FLAIR MRI.
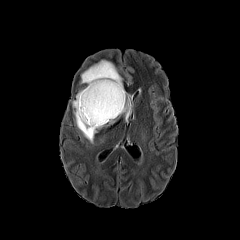
T1-weighted MR.
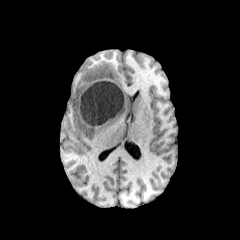
Post-contrast T1-weighted MR.
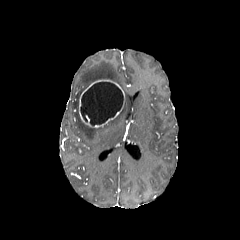
T2-weighted MRI.
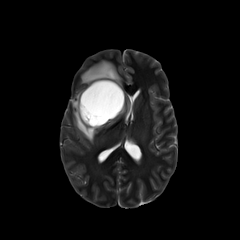
Head | Axial plane
{
  "necrotic_tumor_core": [
    "x1=80 y1=82 x2=123 y2=126"
  ],
  "peritumoral_edema": [
    "x1=72 y1=88 x2=101 y2=143",
    "x1=104 y1=90 x2=132 y2=126",
    "x1=81 y1=58 x2=123 y2=89"
  ],
  "enhancing_tumor": [
    "x1=79 y1=79 x2=125 y2=127"
  ]
}